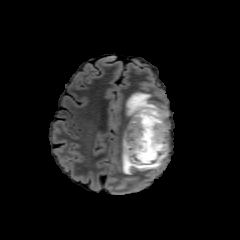
FLAIR MRI.
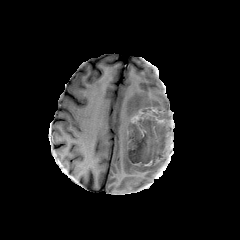
Same slice, T1-weighted MR.
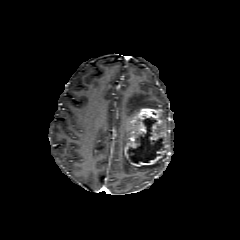
Post-contrast T1-weighted magnetic resonance of the same slice.
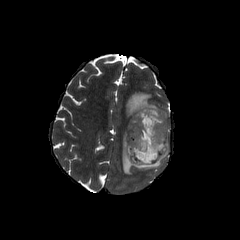
T2-weighted MR of the same slice.
Image size 240x240. Axial plane. Head.
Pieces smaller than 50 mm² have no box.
The 3 largest peritumoral edema regions appear at [126, 92, 168, 116], [137, 161, 163, 171], [122, 141, 135, 174]. The largest necrotic tumor core region appears at [127, 118, 161, 163]. The enhancing tumor is at [123, 108, 169, 168].